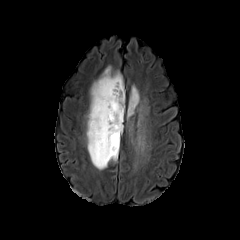
FLAIR MR image.
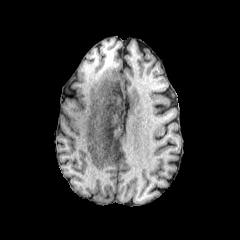
T1-weighted magnetic resonance.
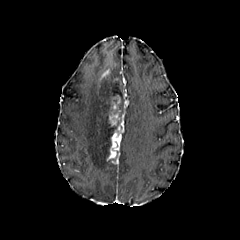
Same slice, post-contrast T1-weighted MRI.
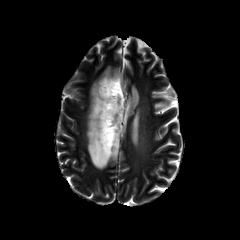
T2-weighted magnetic resonance of the same slice.
Axial plane, Head
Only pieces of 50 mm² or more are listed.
peritumoral_edema:
  - region(127, 85, 139, 118)
  - region(86, 66, 124, 169)
necrotic_tumor_core:
  - region(113, 78, 124, 108)
enhancing_tumor:
  - region(100, 69, 110, 79)
  - region(107, 90, 125, 160)